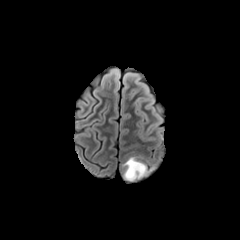
FLAIR MR.
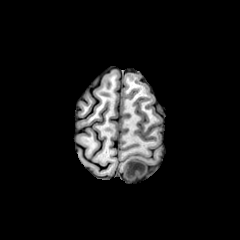
T1-weighted magnetic resonance of the same slice.
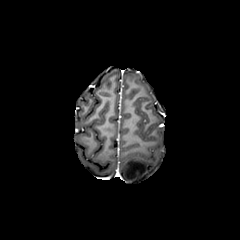
Same slice, post-contrast T1-weighted MRI.
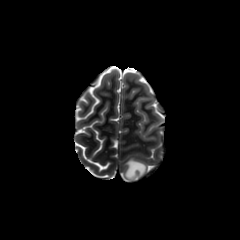
T2-weighted MRI of the same slice.
Axial slice. 240x240. Brain.
{
  "peritumoral_edema": [
    "(x1=124, y1=158, x2=148, y2=181)"
  ]
}